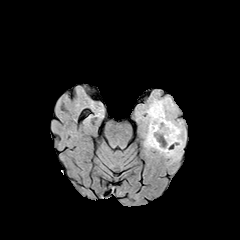
FLAIR MRI.
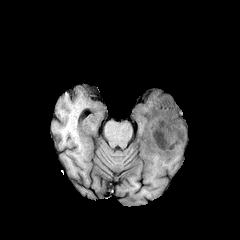
T1-weighted MRI of the same slice.
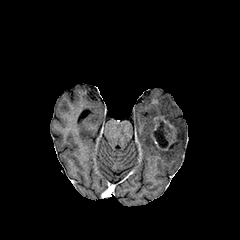
Post-contrast T1-weighted magnetic resonance.
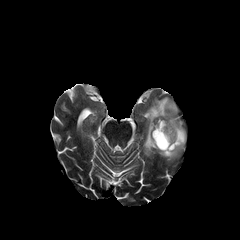
T2-weighted MR.
240x240, Brain
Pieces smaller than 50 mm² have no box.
<segmentation>
  <enhancing_tumor>x1=153 y1=116 x2=177 y2=150</enhancing_tumor>
  <peritumoral_edema>x1=144 y1=97 x2=186 y2=159</peritumoral_edema>
  <necrotic_tumor_core>x1=153 y1=120 x2=172 y2=148</necrotic_tumor_core>
</segmentation>